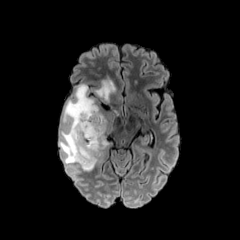
FLAIR MRI.
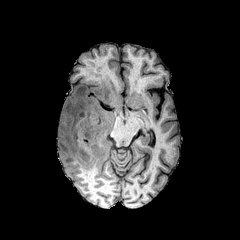
T1-weighted magnetic resonance of the same slice.
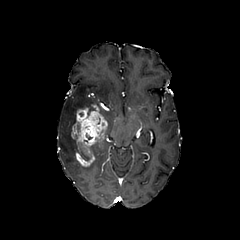
Post-contrast T1-weighted MR image of the same slice.
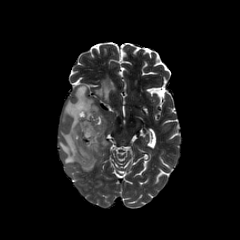
T2-weighted MR.
Axial slice.
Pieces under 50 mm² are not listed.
peritumoral_edema:
  - [94, 75, 115, 103]
  - [59, 84, 97, 170]
enhancing_tumor:
  - [71, 105, 107, 166]
necrotic_tumor_core:
  - [89, 144, 102, 155]
  - [75, 134, 91, 161]